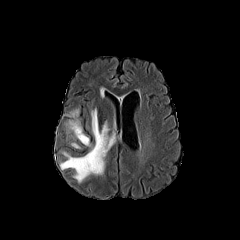
FLAIR MRI.
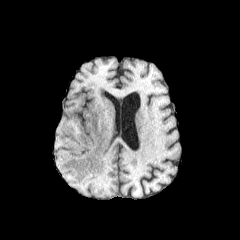
T1-weighted MR.
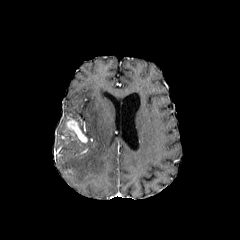
Post-contrast T1-weighted MR image.
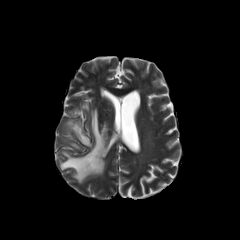
T2-weighted magnetic resonance.
Head. 240x240.
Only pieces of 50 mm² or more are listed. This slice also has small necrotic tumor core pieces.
peritumoral edema: 60 109 115 182
enhancing tumor: 65 117 87 143